Head, Slice 72/155, 240x240 px, Axial slice
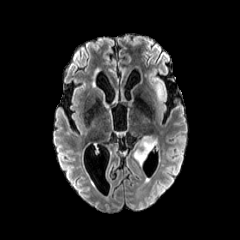
FLAIR MR.
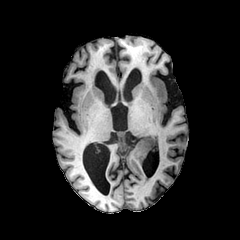
T1-weighted MR.
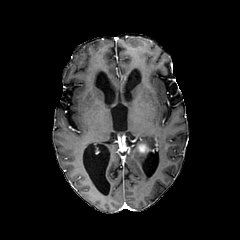
Post-contrast T1-weighted MR.
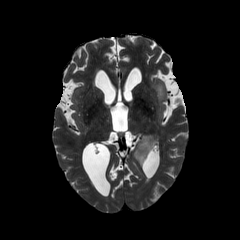
Same slice, T2-weighted MRI.
Segmented structures:
• enhancing tumor: (left=138, top=142, right=149, bottom=153)
• peritumoral edema: (left=133, top=135, right=157, bottom=165)